FLAIR MR image.
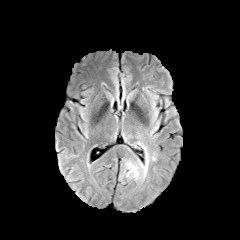
T1-weighted MRI.
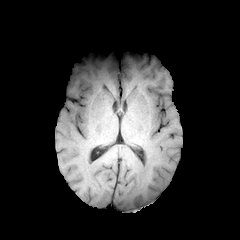
Post-contrast T1-weighted magnetic resonance.
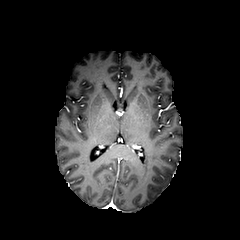
T2-weighted MRI.
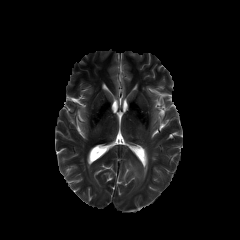
Head. Axial plane. Image size 240x240.
peritumoral edema = (126, 154, 148, 179)